FLAIR magnetic resonance.
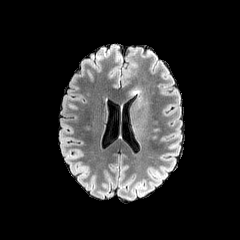
T1-weighted magnetic resonance.
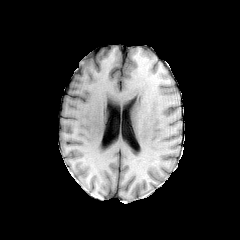
Post-contrast T1-weighted MRI.
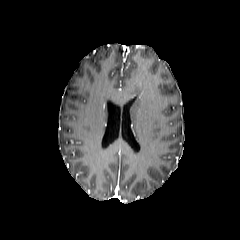
T2-weighted MR.
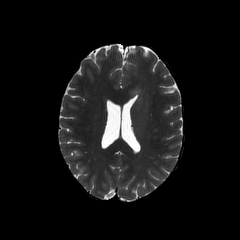
240x240; Axial view
The peritumoral edema is located at 130,88,140,99.